FLAIR magnetic resonance.
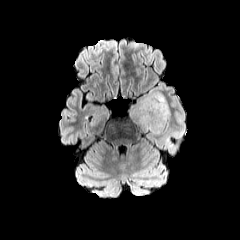
T1-weighted MRI.
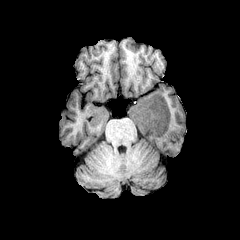
Post-contrast T1-weighted MR image.
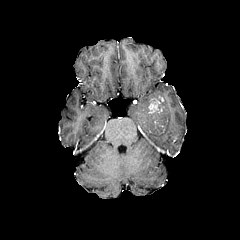
T2-weighted MR.
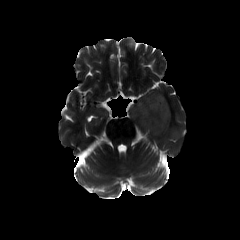
Axial plane. Head.
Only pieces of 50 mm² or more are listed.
<segmentation>
  <enhancing_tumor>x1=148, y1=95, x2=164, y2=112</enhancing_tumor>
  <peritumoral_edema>x1=132, y1=92, x2=170, y2=134</peritumoral_edema>
</segmentation>